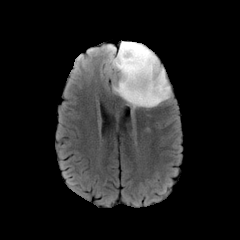
FLAIR MR image.
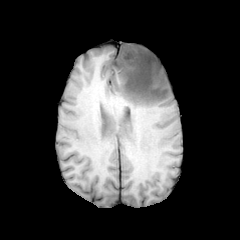
T1-weighted MRI.
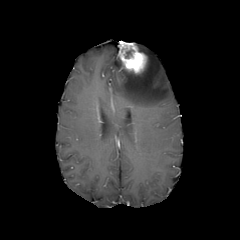
Post-contrast T1-weighted MR of the same slice.
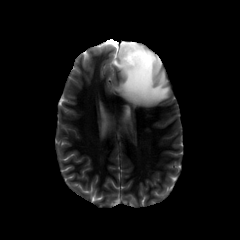
T2-weighted MR.
Brain. Image size 240x240.
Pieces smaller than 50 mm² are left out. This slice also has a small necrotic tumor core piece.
enhancing tumor: l=118, t=41, r=147, b=73 | peritumoral edema: l=109, t=43, r=171, b=108